FLAIR MR.
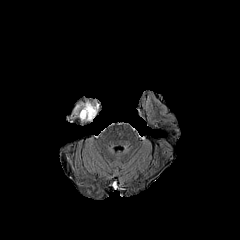
T1-weighted MR image.
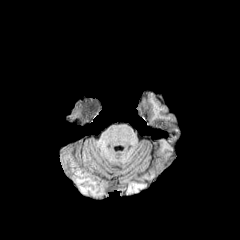
Post-contrast T1-weighted magnetic resonance.
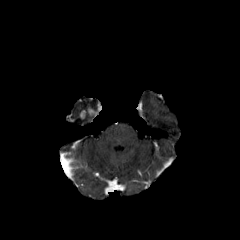
T2-weighted MR.
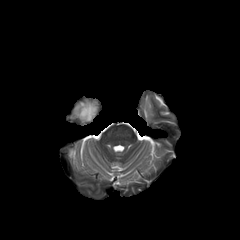
Head | Axial view
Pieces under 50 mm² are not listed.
peritumoral edema: (left=73, top=101, right=99, bottom=121)
enhancing tumor: (left=88, top=106, right=95, bottom=116)